FLAIR MRI.
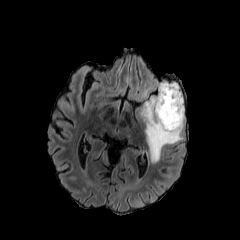
T1-weighted MR image.
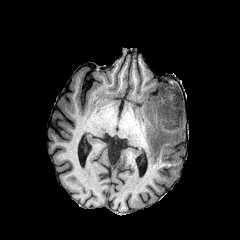
Post-contrast T1-weighted MR image.
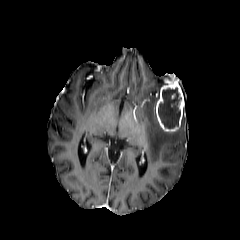
T2-weighted magnetic resonance.
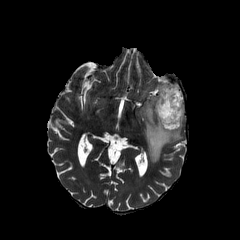
Brain. Axial plane.
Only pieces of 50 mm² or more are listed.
necrotic tumor core — left=158, top=87, right=181, bottom=128
peritumoral edema — left=140, top=93, right=185, bottom=163
enhancing tumor — left=155, top=80, right=184, bottom=132